Slice 81 of 155; Head
FLAIR magnetic resonance.
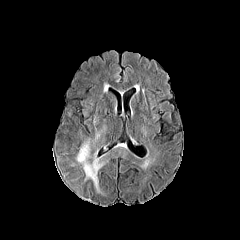
T1-weighted magnetic resonance.
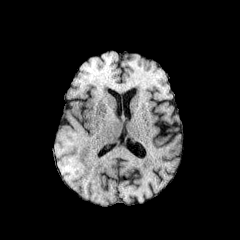
Post-contrast T1-weighted MRI.
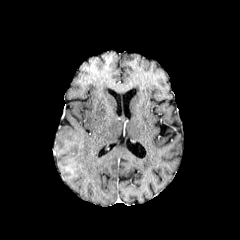
T2-weighted magnetic resonance.
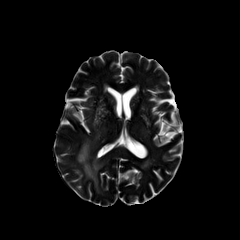
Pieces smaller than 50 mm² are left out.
The largest peritumoral edema region appears at (76, 141, 103, 191).